FLAIR MR.
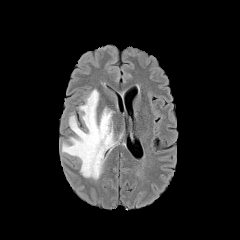
T1-weighted MR image.
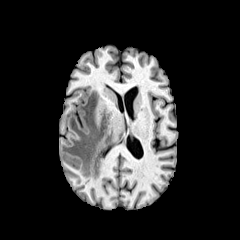
Post-contrast T1-weighted MR image.
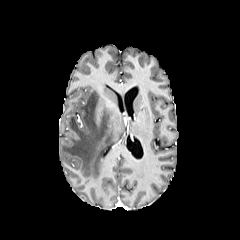
T2-weighted MRI.
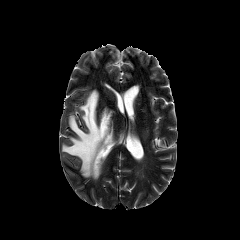
Head. Axial slice.
peritumoral_edema:
  - box(62, 89, 116, 179)